FLAIR MR.
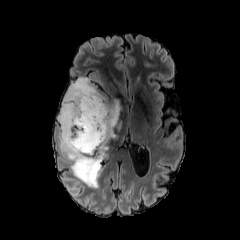
T1-weighted MR.
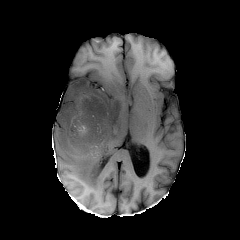
Post-contrast T1-weighted MR image.
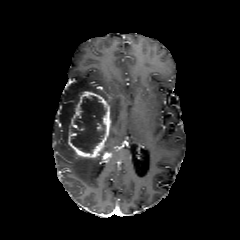
T2-weighted MR image.
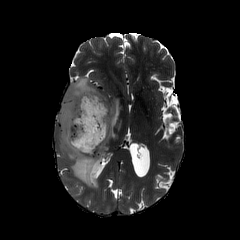
Axial slice, Image size 240x240
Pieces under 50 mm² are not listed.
necrotic tumor core at box=[71, 96, 105, 152]
enhancing tumor at box=[68, 91, 112, 162]
peritumoral edema at box=[104, 99, 121, 151]; box=[57, 78, 107, 188]